FLAIR MR image.
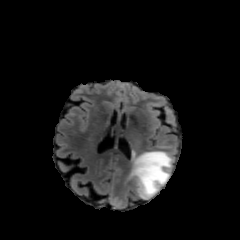
T1-weighted magnetic resonance.
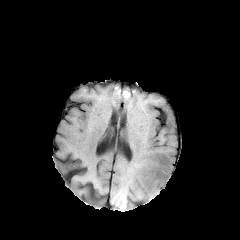
Post-contrast T1-weighted MR.
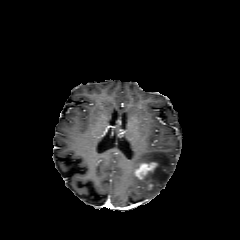
T2-weighted MRI.
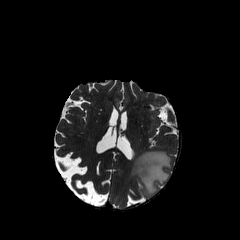
Axial view. Head.
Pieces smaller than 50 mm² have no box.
The peritumoral edema appears at [x1=127, y1=151, x2=173, y2=198]. The largest enhancing tumor region is located at [x1=135, y1=162, x2=157, y2=178].